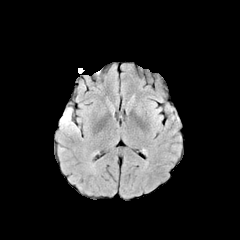
FLAIR MRI.
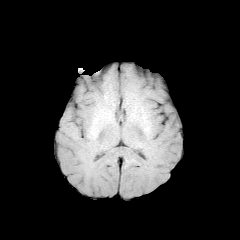
T1-weighted MR image.
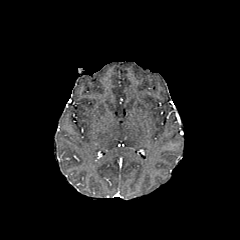
Same slice, post-contrast T1-weighted magnetic resonance.
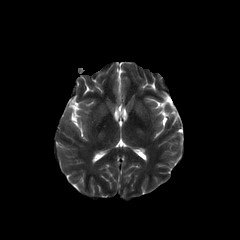
T2-weighted MRI.
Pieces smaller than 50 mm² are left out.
The largest peritumoral edema region is at (x1=61, y1=108, x2=79, y2=133).